240x240
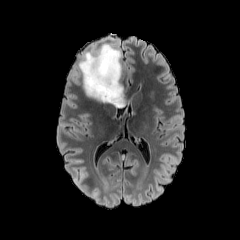
FLAIR MR.
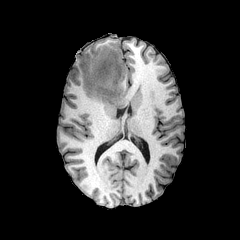
T1-weighted MRI.
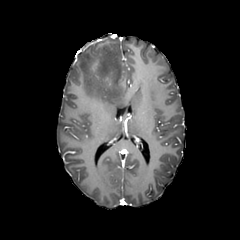
Post-contrast T1-weighted MR image.
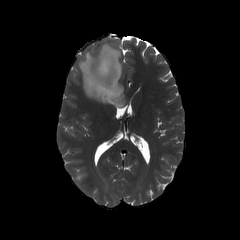
T2-weighted MRI of the same slice.
enhancing tumor: bounding box (92,60,100,69), (94,71,113,88)
peritumoral edema: bounding box (79,44,125,107)